Axial plane
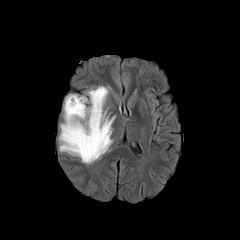
FLAIR MR.
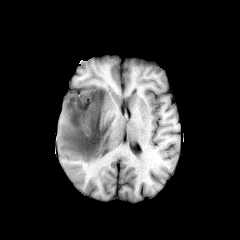
Same slice, T1-weighted MR.
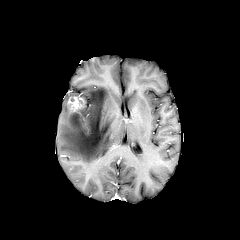
Same slice, post-contrast T1-weighted MR.
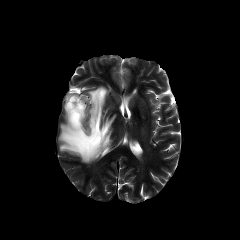
T2-weighted MR image of the same slice.
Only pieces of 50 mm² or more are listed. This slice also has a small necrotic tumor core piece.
peritumoral_edema:
  - <bbox>59, 86, 115, 164</bbox>
enhancing_tumor:
  - <bbox>67, 97, 85, 112</bbox>